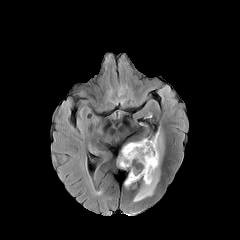
FLAIR MRI.
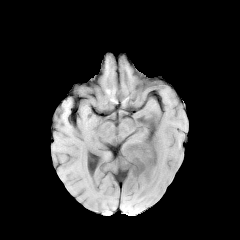
T1-weighted MR.
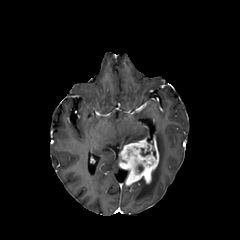
Post-contrast T1-weighted MRI.
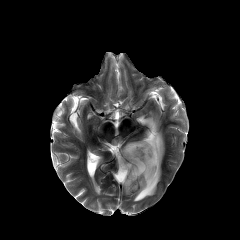
T2-weighted MR.
Image size 240x240. Head.
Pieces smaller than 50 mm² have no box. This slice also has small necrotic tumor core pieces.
The largest peritumoral edema region is at box=[133, 128, 164, 201]. The enhancing tumor is at box=[118, 136, 159, 186].